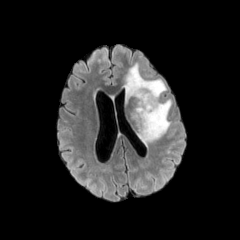
FLAIR MR.
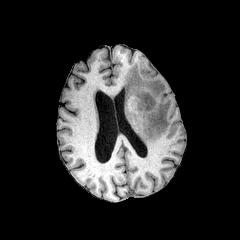
T1-weighted magnetic resonance.
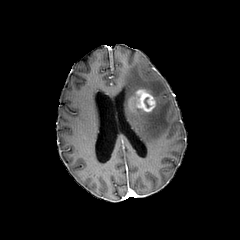
Post-contrast T1-weighted MRI.
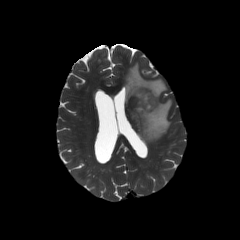
T2-weighted magnetic resonance.
240x240, Head
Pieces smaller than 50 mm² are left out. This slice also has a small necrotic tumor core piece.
enhancing_tumor:
  - <box>135,89,155,112</box>
peritumoral_edema:
  - <box>124,63,171,144</box>